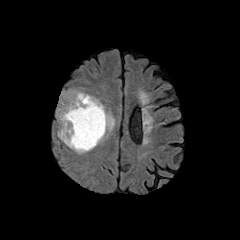
FLAIR magnetic resonance.
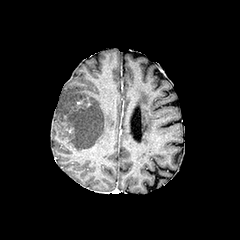
Same slice, T1-weighted magnetic resonance.
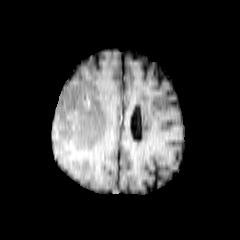
Post-contrast T1-weighted MR of the same slice.
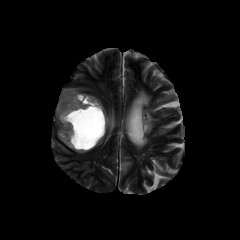
T2-weighted magnetic resonance of the same slice.
Head
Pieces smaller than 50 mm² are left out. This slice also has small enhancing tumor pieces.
2 necrotic tumor core regions are located at [65, 102, 104, 148], [78, 93, 89, 103]. The peritumoral edema lies within [56, 88, 114, 153].